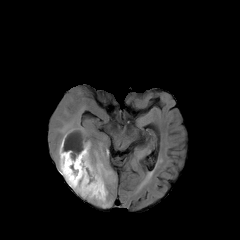
FLAIR MR.
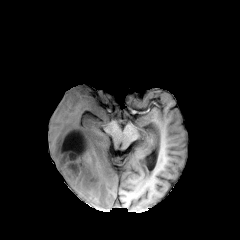
T1-weighted MRI.
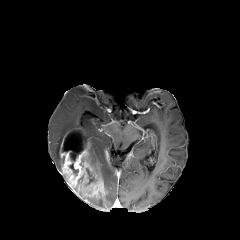
Post-contrast T1-weighted MR image of the same slice.
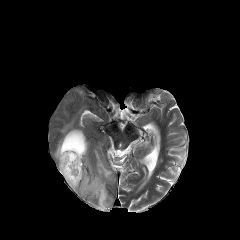
T2-weighted MR image.
Axial slice. Head. Image size 240x240.
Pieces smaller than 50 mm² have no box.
The 2 largest necrotic tumor core regions are bounded by [x1=63, y1=130, x2=87, y2=161], [x1=86, y1=168, x2=94, y2=184]. The enhancing tumor is bounded by [x1=59, y1=128, x2=107, y2=207]. 4 peritumoral edema regions appear at [x1=105, y1=191, x2=112, y2=207], [x1=87, y1=198, x2=105, y2=208], [x1=54, y1=116, x2=87, y2=170], [x1=89, y1=139, x2=115, y2=190].